Axial slice, Head, Image size 240x240, Slice 77/155
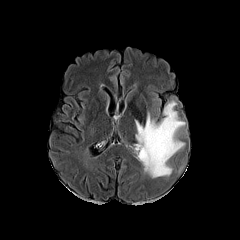
FLAIR magnetic resonance.
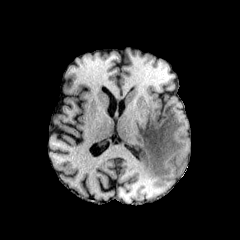
Same slice, T1-weighted MR image.
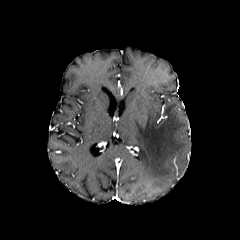
Post-contrast T1-weighted magnetic resonance.
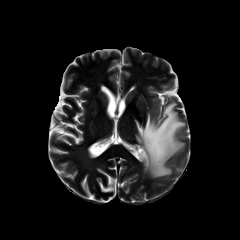
T2-weighted MR.
The peritumoral edema is at box=[134, 100, 185, 178].